FLAIR magnetic resonance.
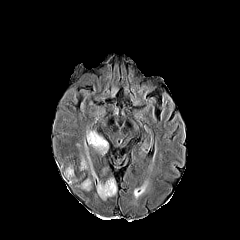
T1-weighted MRI.
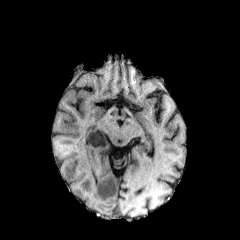
Post-contrast T1-weighted MRI.
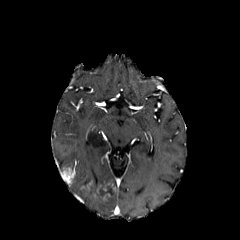
T2-weighted MRI.
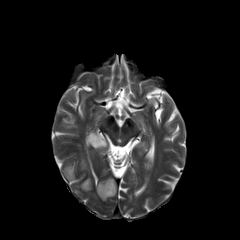
Axial plane.
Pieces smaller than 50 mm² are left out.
peritumoral edema: [87,152,97,180], [79,158,87,170], [87,130,109,155] | necrotic tumor core: [99,186,113,194] | enhancing tumor: [61,166,75,183], [81,182,91,190], [97,180,115,193]